Brain | Slice 78 of 155
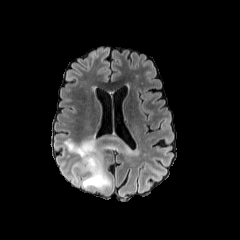
FLAIR MRI.
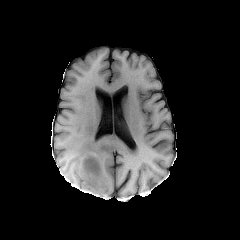
Same slice, T1-weighted magnetic resonance.
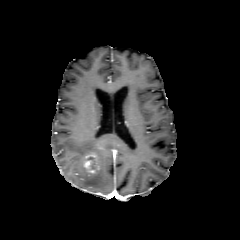
Post-contrast T1-weighted MR of the same slice.
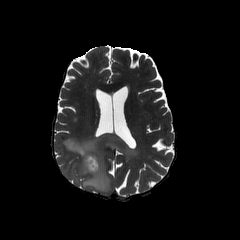
T2-weighted MR.
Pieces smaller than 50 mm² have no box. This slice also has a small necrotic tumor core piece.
{
  "enhancing_tumor": [
    "rect(84, 154, 98, 173)"
  ],
  "peritumoral_edema": [
    "rect(64, 133, 139, 190)"
  ]
}